FLAIR MR image.
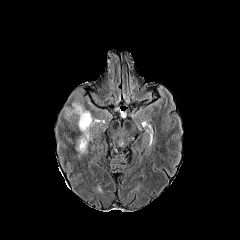
T1-weighted MR.
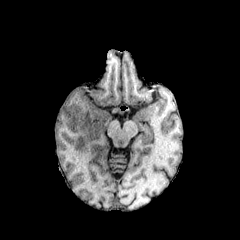
Post-contrast T1-weighted magnetic resonance.
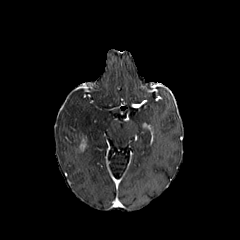
T2-weighted MRI.
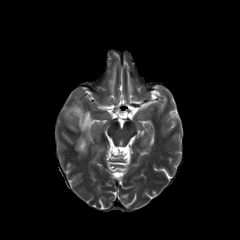
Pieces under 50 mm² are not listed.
enhancing_tumor:
  - x1=78, y1=135, x2=87, y2=151
peritumoral_edema:
  - x1=67, y1=103, x2=99, y2=157